FLAIR MR.
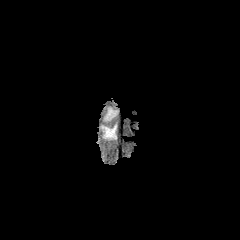
T1-weighted MR.
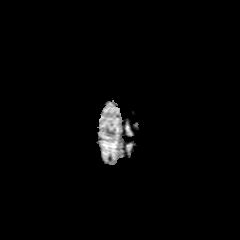
Post-contrast T1-weighted MR image.
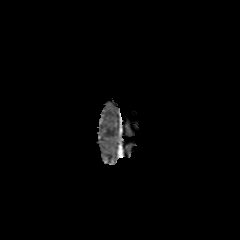
T2-weighted MR.
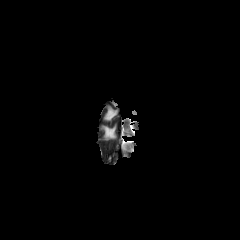
Head; Axial slice
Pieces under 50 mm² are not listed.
Segmented structures:
• peritumoral edema: box=[105, 127, 115, 137]